Slice 79 of 155
FLAIR MRI.
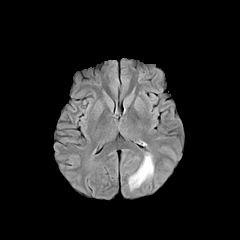
T1-weighted magnetic resonance.
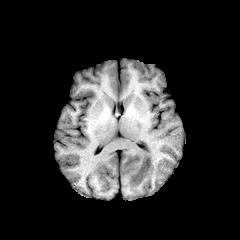
Post-contrast T1-weighted MR image.
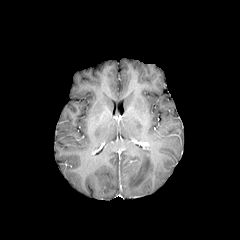
T2-weighted magnetic resonance.
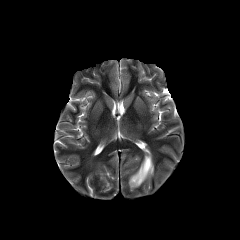
peritumoral_edema:
  - left=129, top=153, right=153, bottom=189